Image width 240 mm; Axial view
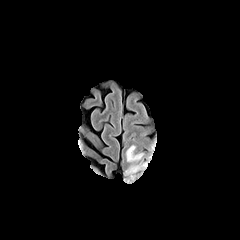
FLAIR magnetic resonance.
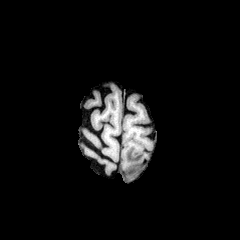
T1-weighted magnetic resonance of the same slice.
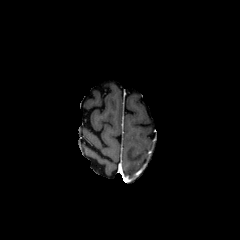
Post-contrast T1-weighted MR image.
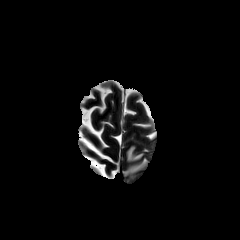
T2-weighted magnetic resonance of the same slice.
peritumoral edema at bbox(126, 145, 143, 162); bbox(125, 163, 141, 174)